Brain | Slice 56/155 | Axial slice
FLAIR MR image.
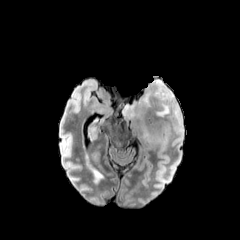
T1-weighted magnetic resonance.
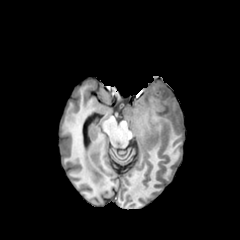
Post-contrast T1-weighted MR image.
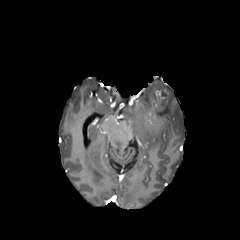
T2-weighted MR image.
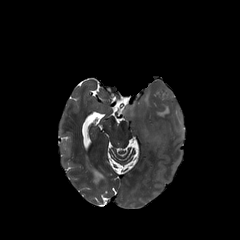
The enhancing tumor appears at box(155, 90, 165, 99). The peritumoral edema appears at box(122, 80, 183, 147).